FLAIR magnetic resonance.
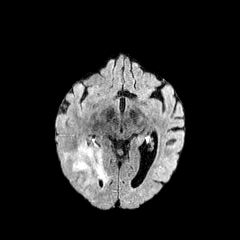
T1-weighted magnetic resonance.
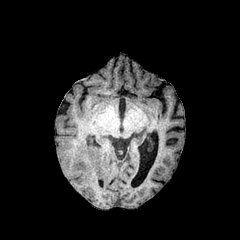
Post-contrast T1-weighted MR image.
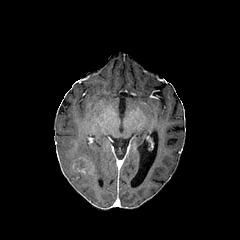
T2-weighted MR image.
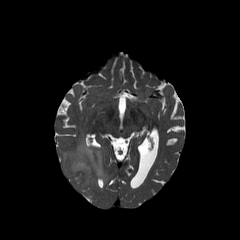
Brain, 240x240 px
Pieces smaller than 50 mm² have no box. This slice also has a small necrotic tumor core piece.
Segmented structures:
* peritumoral edema: (64, 141, 109, 186)
* enhancing tumor: (73, 160, 88, 173)